Axial view | Slice index 81
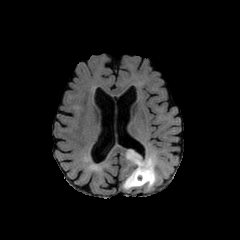
FLAIR MR image.
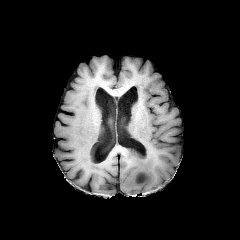
T1-weighted magnetic resonance of the same slice.
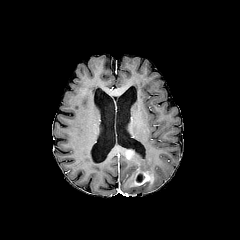
Post-contrast T1-weighted MR image.
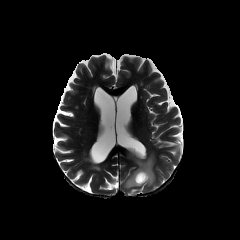
T2-weighted magnetic resonance.
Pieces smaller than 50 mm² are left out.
Segmented structures:
• enhancing tumor: <box>126,150,134,159</box>, <box>126,169,153,186</box>
• peritumoral edema: <box>123,145,159,189</box>
• necrotic tumor core: <box>136,173,144,182</box>